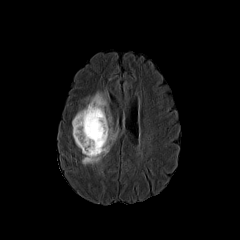
FLAIR MR.
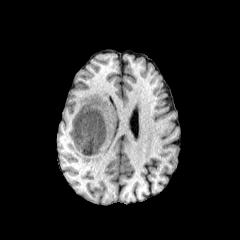
Same slice, T1-weighted MR image.
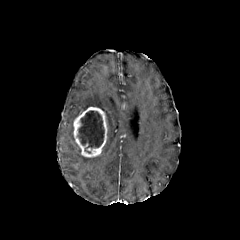
Post-contrast T1-weighted MRI.
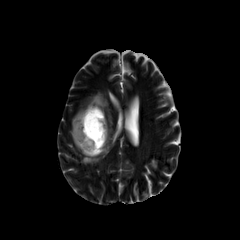
Same slice, T2-weighted MR.
Brain
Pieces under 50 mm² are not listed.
peritumoral edema = (74,92,116,164)
necrotic tumor core = (78,111,104,147)
enhancing tumor = (73,106,107,157)